FLAIR MR.
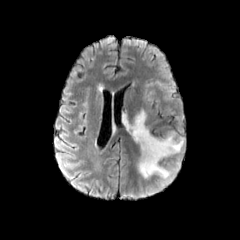
T1-weighted MRI.
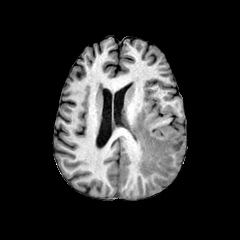
Post-contrast T1-weighted MRI.
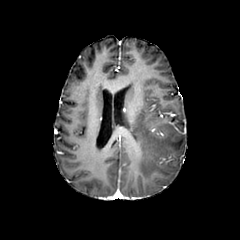
T2-weighted MR.
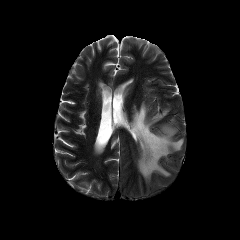
Axial plane. Head.
The peritumoral edema is at [x1=129, y1=110, x2=183, y2=178].